FLAIR MRI.
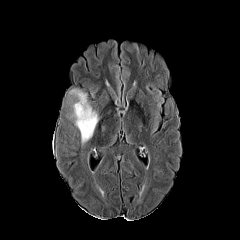
T1-weighted MR.
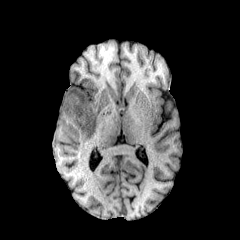
Post-contrast T1-weighted MRI.
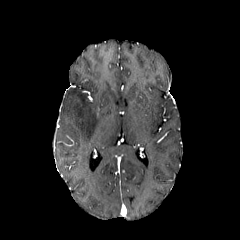
T2-weighted MRI.
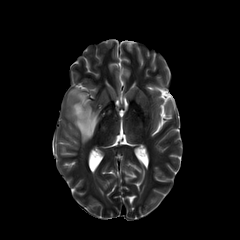
Brain; Axial slice
peritumoral edema at [69, 88, 100, 143]